FLAIR MR.
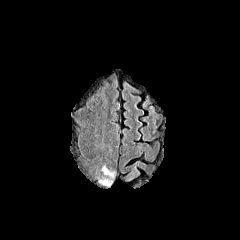
T1-weighted MR image.
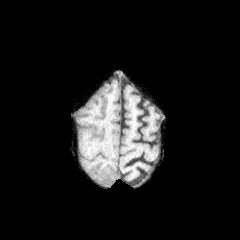
Post-contrast T1-weighted MR.
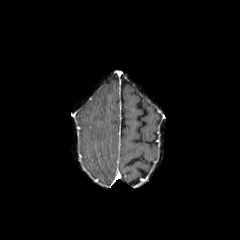
T2-weighted MR image.
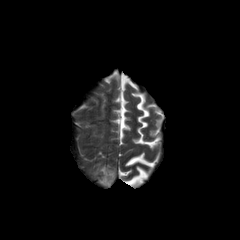
Axial view | 240x240
• peritumoral edema: 98,165,116,188